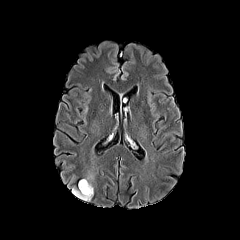
FLAIR magnetic resonance.
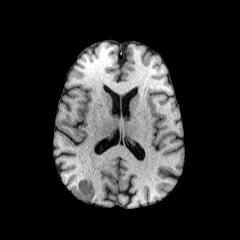
Same slice, T1-weighted MR image.
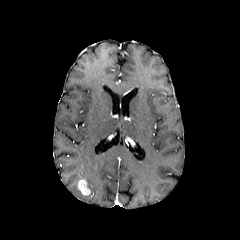
Post-contrast T1-weighted MR.
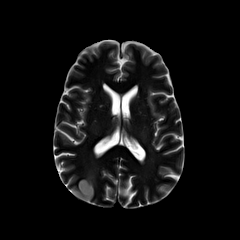
T2-weighted magnetic resonance.
The enhancing tumor lies within region(78, 179, 94, 196). 2 peritumoral edema regions appear at region(85, 174, 93, 193); region(72, 187, 91, 201).